Image covers 240 mm x 240 mm; Slice index 76
FLAIR MR image.
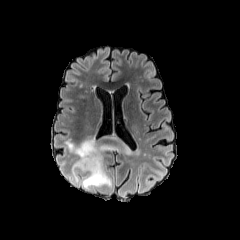
T1-weighted MR image.
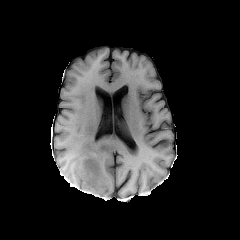
Post-contrast T1-weighted MR.
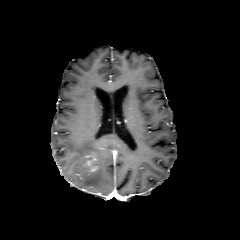
T2-weighted MR image.
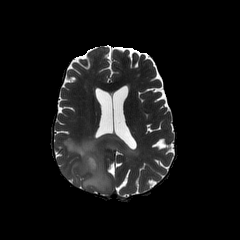
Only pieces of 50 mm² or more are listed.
enhancing tumor: bounding box box(86, 157, 97, 172)
peritumoral edema: bounding box box(65, 136, 131, 188)